FLAIR MR.
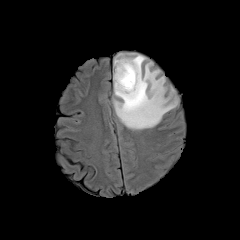
T1-weighted MRI.
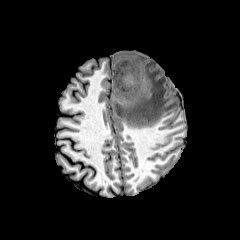
Post-contrast T1-weighted MRI.
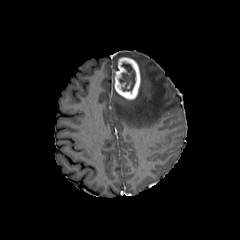
T2-weighted MR.
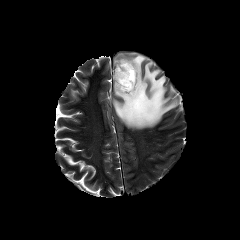
Axial view. Brain.
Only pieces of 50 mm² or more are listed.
peritumoral edema: bounding box 113,53,178,129
necrotic tumor core: bounding box 119,63,135,91
enhancing tumor: bounding box 114,57,140,99